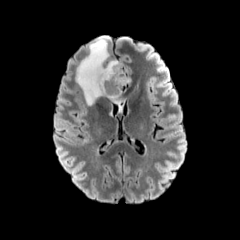
FLAIR MR image.
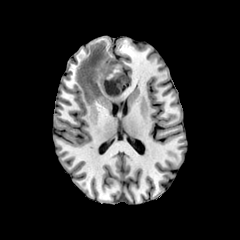
T1-weighted MR image.
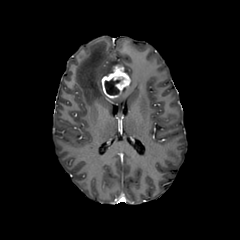
Post-contrast T1-weighted MR.
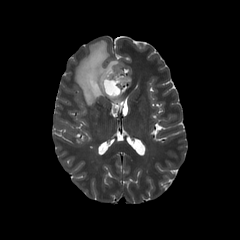
T2-weighted MR of the same slice.
Axial plane
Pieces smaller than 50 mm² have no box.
peritumoral edema: bounding box [75,36,121,105]
necrotic tumor core: bounding box [104,79,120,95]
enhancing tumor: bounding box [101,65,130,98]